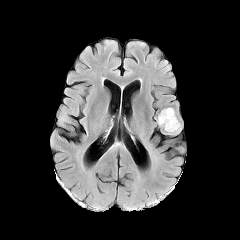
FLAIR MR.
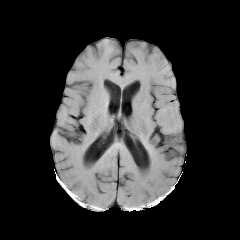
T1-weighted magnetic resonance of the same slice.
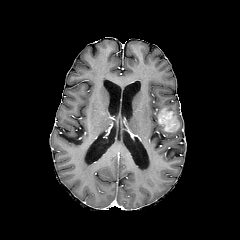
Post-contrast T1-weighted MR image.
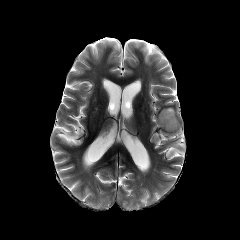
Same slice, T2-weighted MRI.
240x240 px. Axial slice. Brain.
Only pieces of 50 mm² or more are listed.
The enhancing tumor is located at [158,108,179,131]. The largest peritumoral edema region is located at [163,107,182,134].